Head | Axial slice
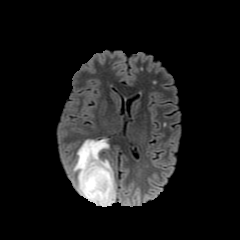
FLAIR MRI.
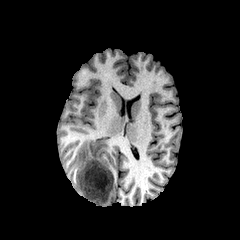
T1-weighted MR image of the same slice.
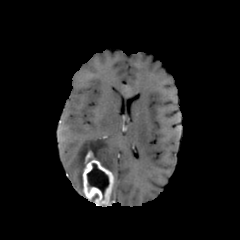
Same slice, post-contrast T1-weighted MR.
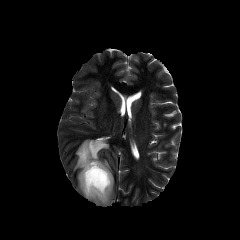
T2-weighted MRI.
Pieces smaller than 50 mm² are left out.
enhancing_tumor:
  - box=[82, 151, 114, 205]
necrotic_tumor_core:
  - box=[87, 162, 109, 198]
peritumoral_edema:
  - box=[111, 183, 115, 201]
  - box=[73, 139, 113, 197]